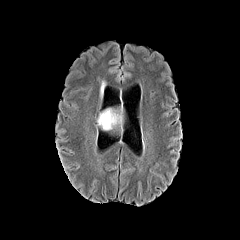
FLAIR MRI.
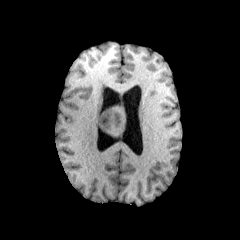
T1-weighted MRI.
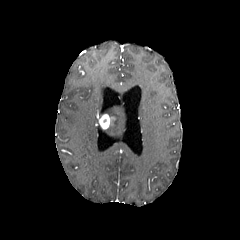
Post-contrast T1-weighted MRI.
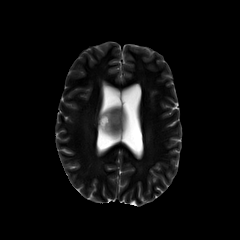
T2-weighted MR image.
Axial plane. Image size 240x240.
The enhancing tumor lies within (x1=98, y1=114, x2=115, y2=129). The peritumoral edema is bounded by (x1=98, y1=109, x2=122, y2=130).